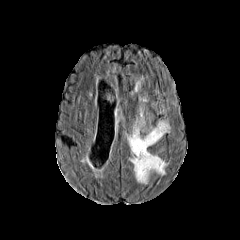
FLAIR magnetic resonance.
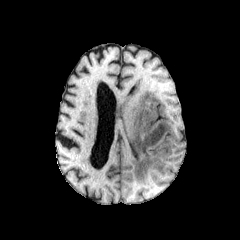
T1-weighted MR image.
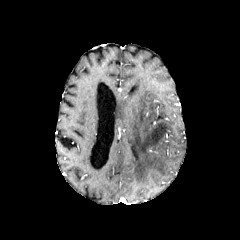
Post-contrast T1-weighted magnetic resonance.
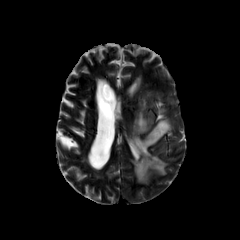
T2-weighted MR.
peritumoral_edema:
  - {"x1": 127, "y1": 108, "x2": 170, "y2": 183}